240x240; Brain; Axial plane
FLAIR MR.
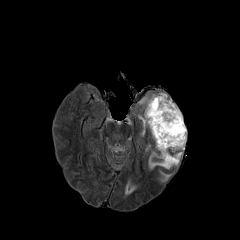
T1-weighted MRI.
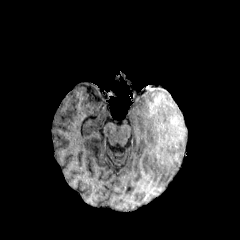
Post-contrast T1-weighted MRI.
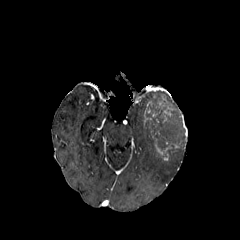
T2-weighted MR.
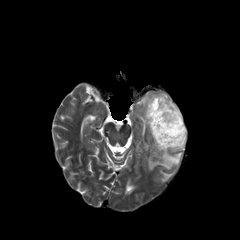
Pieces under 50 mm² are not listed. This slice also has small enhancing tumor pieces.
The 3 largest peritumoral edema regions appear at 151:93:178:110, 161:172:170:181, 148:152:182:169. The largest necrotic tumor core region is at 145:100:185:150.